FLAIR MR image.
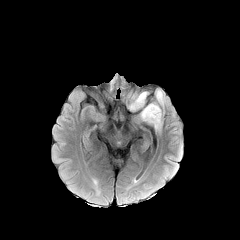
T1-weighted MR.
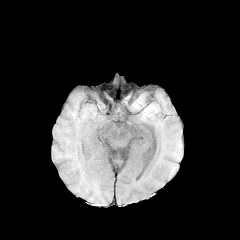
Post-contrast T1-weighted MR.
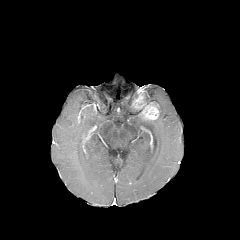
T2-weighted magnetic resonance.
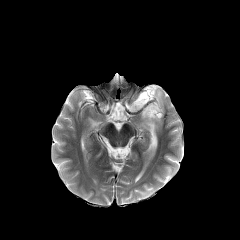
Axial slice.
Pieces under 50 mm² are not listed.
enhancing tumor — [133,90,159,119]
peritumoral edema — [140,89,165,129]